Image covers 240 mm x 240 mm
FLAIR MR image.
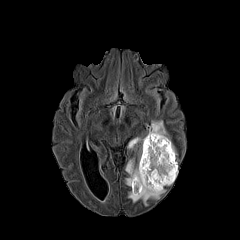
T1-weighted MRI.
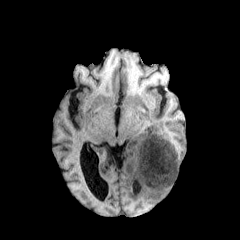
Post-contrast T1-weighted MR image.
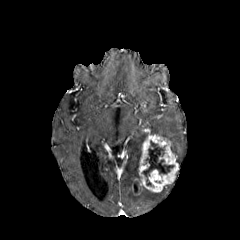
T2-weighted MR.
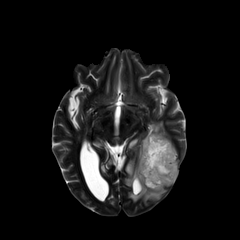
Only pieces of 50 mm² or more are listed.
necrotic_tumor_core:
  - (143, 141, 174, 185)
peritumoral_edema:
  - (128, 187, 166, 205)
  - (149, 120, 177, 155)
  - (125, 134, 147, 187)
enhancing_tumor:
  - (132, 133, 178, 194)